FLAIR MR.
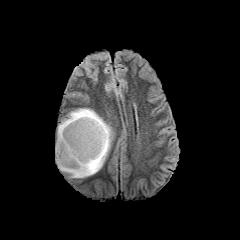
T1-weighted magnetic resonance.
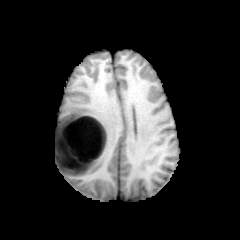
Post-contrast T1-weighted MR.
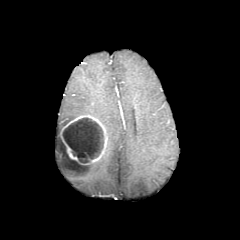
T2-weighted magnetic resonance.
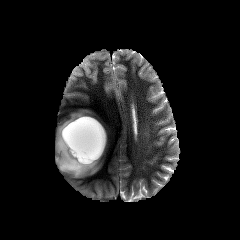
Axial slice; Brain
The enhancing tumor is bounded by [x1=60, y1=115, x2=107, y2=164]. The necrotic tumor core is bounded by [x1=62, y1=117, x2=103, y2=163]. The peritumoral edema is at [x1=55, y1=108, x2=111, y2=178].